Head; 240x240; Axial plane
FLAIR MR.
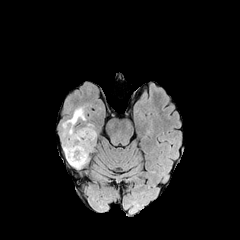
T1-weighted magnetic resonance.
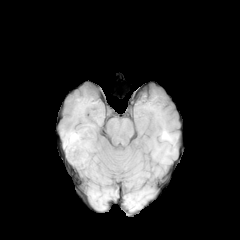
Post-contrast T1-weighted MRI.
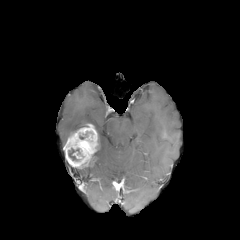
T2-weighted MR.
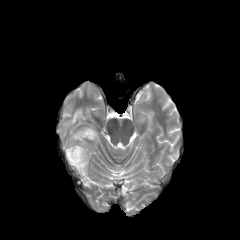
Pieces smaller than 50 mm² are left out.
<segmentation>
  <necrotic_tumor_core>[x1=68, y1=148, x2=80, y2=160]</necrotic_tumor_core>
  <enhancing_tumor>[x1=63, y1=124, x2=98, y2=168]</enhancing_tumor>
  <peritumoral_edema>[x1=62, y1=108, x2=85, y2=136]</peritumoral_edema>
</segmentation>